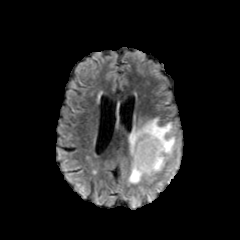
FLAIR MR image.
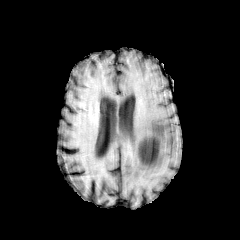
T1-weighted magnetic resonance.
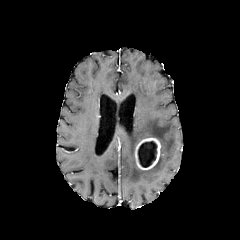
Post-contrast T1-weighted MR image of the same slice.
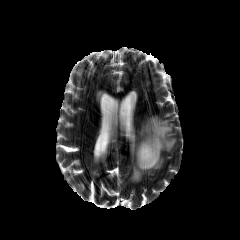
T2-weighted magnetic resonance.
Head; Axial plane
Findings:
• peritumoral edema: 128, 117, 175, 183
• enhancing tumor: 134, 137, 161, 170
• necrotic tumor core: 138, 141, 156, 167